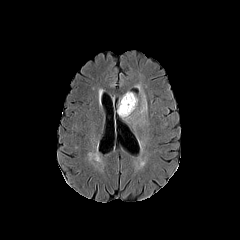
FLAIR MR image.
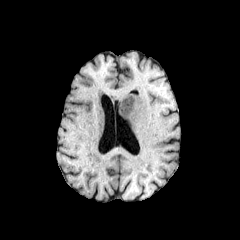
T1-weighted MR image.
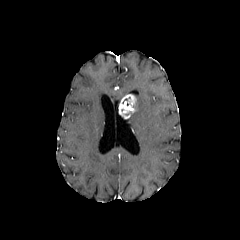
Post-contrast T1-weighted MR of the same slice.
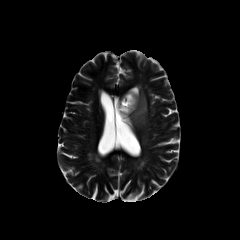
Same slice, T2-weighted MRI.
Image size 240x240
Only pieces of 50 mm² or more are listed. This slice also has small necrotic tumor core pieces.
- peritumoral edema: bbox(134, 92, 147, 117)
- enhancing tumor: bbox(118, 94, 136, 118)